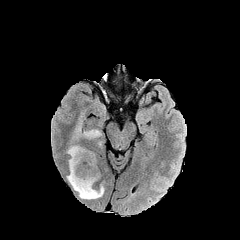
FLAIR magnetic resonance.
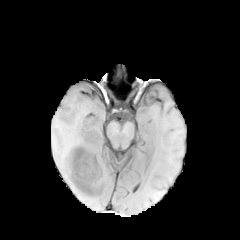
T1-weighted MRI.
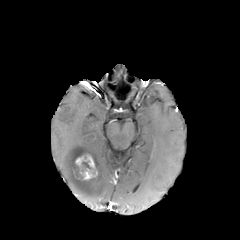
Same slice, post-contrast T1-weighted MR.
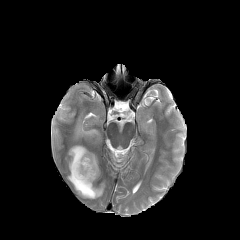
T2-weighted MRI.
Axial view.
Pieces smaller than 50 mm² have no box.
• necrotic tumor core: <bbox>84, 134, 94, 141</bbox>, <bbox>74, 161, 91, 178</bbox>
• peritumoral edema: <bbox>73, 120, 101, 145</bbox>, <bbox>66, 145, 104, 199</bbox>
• enhancing tumor: <bbox>75, 152, 97, 179</bbox>